FLAIR MR.
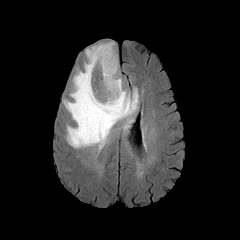
T1-weighted MR.
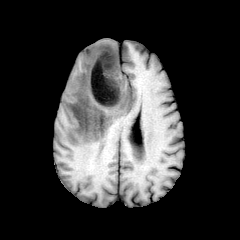
Post-contrast T1-weighted MR image.
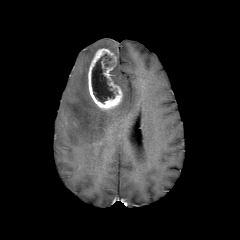
T2-weighted MRI.
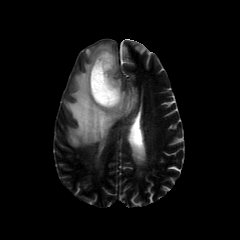
Head | Axial plane
enhancing_tumor:
  - bbox(88, 48, 121, 109)
peritumoral_edema:
  - bbox(63, 41, 138, 150)
necrotic_tumor_core:
  - bbox(91, 53, 114, 103)